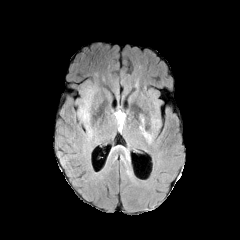
FLAIR magnetic resonance.
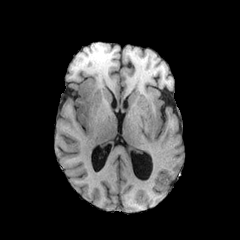
T1-weighted magnetic resonance.
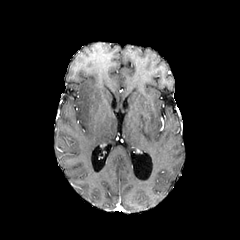
Same slice, post-contrast T1-weighted MR.
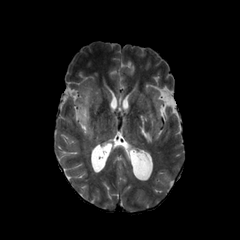
T2-weighted MR.
Brain
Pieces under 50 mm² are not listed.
peritumoral edema: left=77, top=98, right=93, bottom=138; left=143, top=130, right=151, bottom=142